FLAIR magnetic resonance.
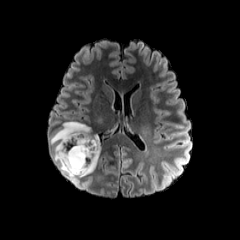
T1-weighted MR.
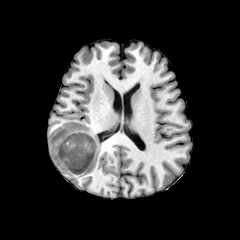
Post-contrast T1-weighted MRI.
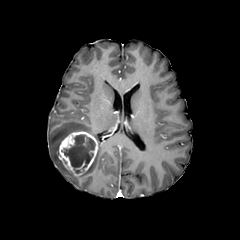
T2-weighted MR image.
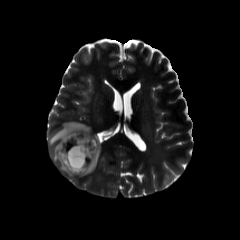
Head | Axial plane
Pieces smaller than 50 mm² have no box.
The largest necrotic tumor core region is located at [64,134,95,169]. The peritumoral edema is at [49,121,100,177]. The largest enhancing tumor region is located at [58,131,98,175].